FLAIR MR image.
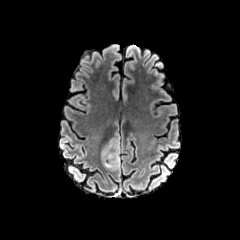
T1-weighted MR image.
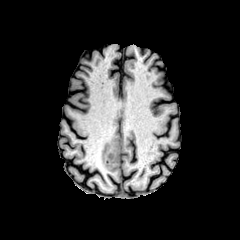
Post-contrast T1-weighted magnetic resonance.
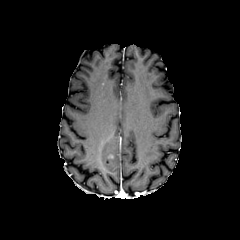
T2-weighted MR image.
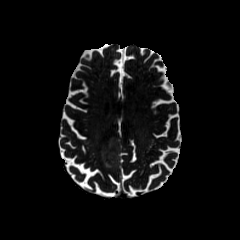
Brain, Axial plane
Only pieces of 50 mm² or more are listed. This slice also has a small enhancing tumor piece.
{"peritumoral_edema": ["bbox=[101, 130, 120, 170]"]}